FLAIR MR image.
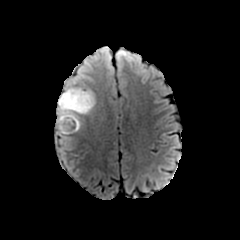
T1-weighted magnetic resonance.
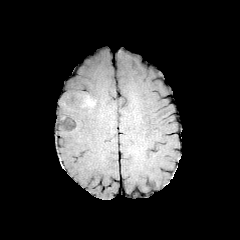
Post-contrast T1-weighted MR image.
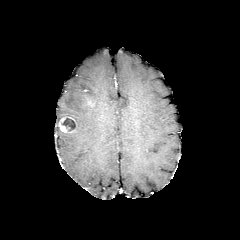
T2-weighted MRI.
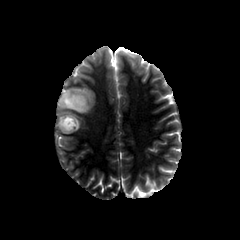
necrotic tumor core: bounding box rect(62, 118, 74, 131)
enhancing tumor: bounding box rect(58, 116, 76, 132)
peritumoral edema: bounding box rect(56, 85, 96, 136)